FLAIR magnetic resonance.
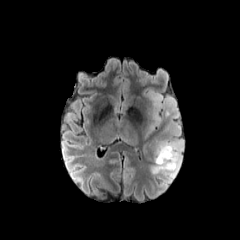
T1-weighted MR image.
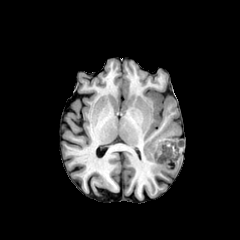
Post-contrast T1-weighted MR.
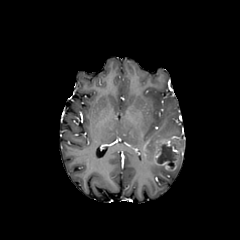
T2-weighted MRI.
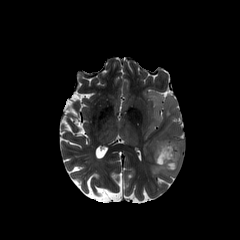
240x240; Axial plane
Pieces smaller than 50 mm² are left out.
necrotic_tumor_core:
  - 157 144 176 168
peritumoral_edema:
  - 142 88 184 177
enhancing_tumor:
  - 154 138 182 170